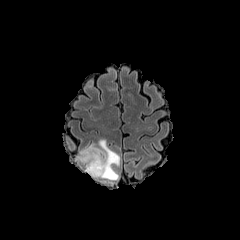
FLAIR MR.
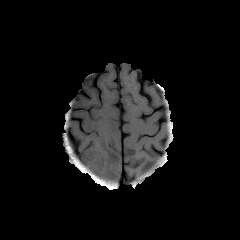
T1-weighted magnetic resonance.
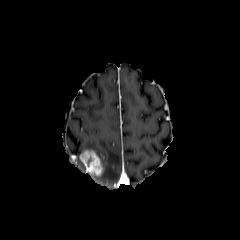
Same slice, post-contrast T1-weighted MRI.
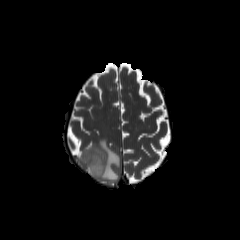
T2-weighted magnetic resonance of the same slice.
Image size 240x240; Head
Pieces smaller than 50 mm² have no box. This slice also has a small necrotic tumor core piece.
The enhancing tumor lies within 80,149,104,175. The largest peritumoral edema region is located at 76,139,120,183.